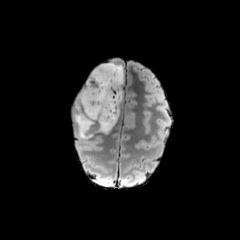
FLAIR magnetic resonance.
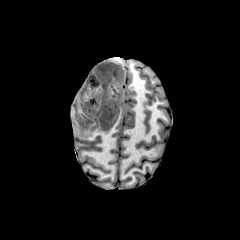
T1-weighted MRI.
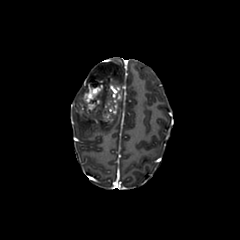
Post-contrast T1-weighted MRI.
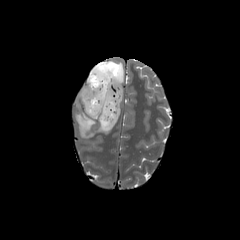
Same slice, T2-weighted MR.
Axial view; Brain
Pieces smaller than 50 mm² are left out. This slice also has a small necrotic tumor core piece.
The enhancing tumor is located at box=[80, 75, 122, 122]. 2 peritumoral edema regions appear at box=[90, 62, 123, 86]; box=[74, 80, 119, 138].